240x240 px; Brain; Image width 240 mm
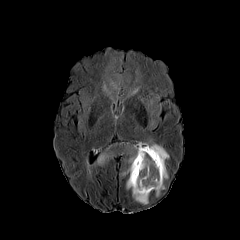
FLAIR MRI.
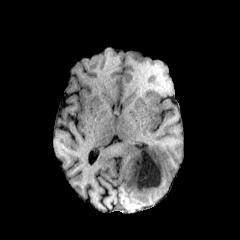
T1-weighted MR.
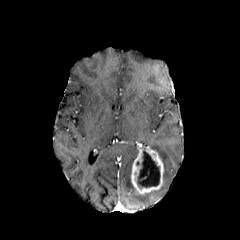
Post-contrast T1-weighted MR image.
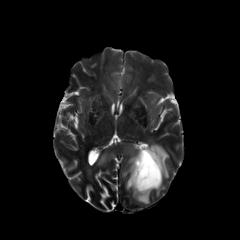
T2-weighted MR image.
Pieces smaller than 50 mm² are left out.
The enhancing tumor appears at x1=131 y1=143 x2=164 y2=194. The 4 largest peritumoral edema regions appear at x1=143 y1=143 x2=169 y2=196, x1=102 y1=64 x2=139 y2=102, x1=98 y1=143 x2=149 y2=204, x1=142 y1=92 x2=160 y2=130. The largest necrotic tumor core region is at x1=137 y1=150 x2=159 y2=187.